FLAIR MR image.
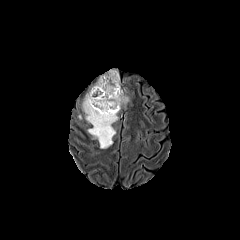
T1-weighted magnetic resonance.
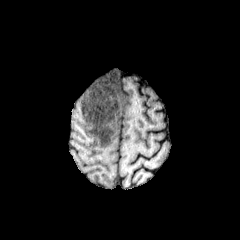
Post-contrast T1-weighted magnetic resonance.
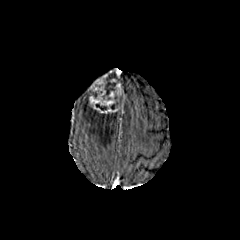
T2-weighted MR image.
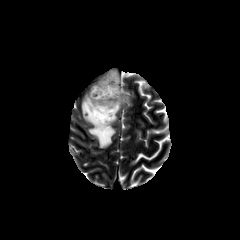
240x240 px, Head
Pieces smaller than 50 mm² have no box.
{"necrotic_tumor_core": ["l=102, t=72, r=120, b=98"], "peritumoral_edema": ["l=83, t=93, r=117, b=148"], "enhancing_tumor": ["l=89, t=69, r=126, b=113"]}